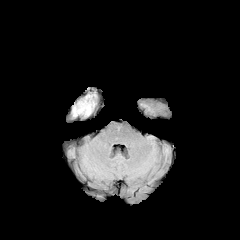
FLAIR MR image.
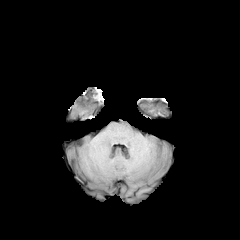
Same slice, T1-weighted magnetic resonance.
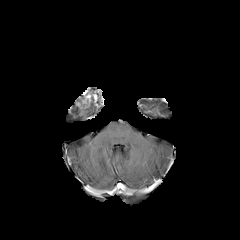
Post-contrast T1-weighted MRI.
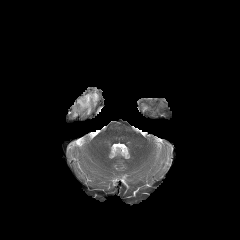
T2-weighted MR.
Axial view, Brain
The peritumoral edema appears at rect(73, 103, 94, 116). The enhancing tumor is located at rect(76, 88, 97, 109).